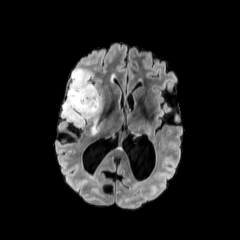
FLAIR MR image.
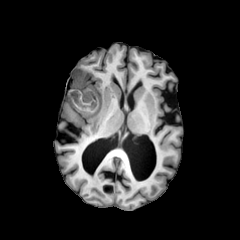
T1-weighted MRI.
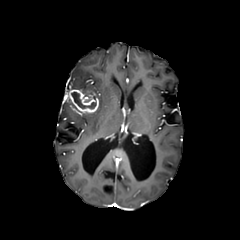
Post-contrast T1-weighted MRI of the same slice.
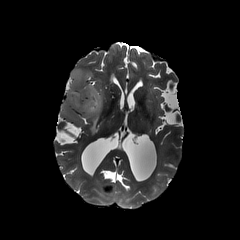
T2-weighted MR image.
Image size 240x240 | Axial plane
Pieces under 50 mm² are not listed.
enhancing tumor — [65, 85, 99, 114]
peritumoral edema — [61, 95, 101, 127], [69, 68, 98, 93], [91, 118, 98, 134]
necrotic tumor core — [71, 92, 96, 108]